FLAIR MR.
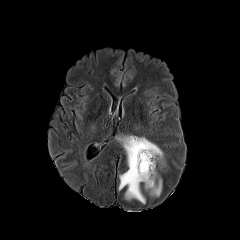
T1-weighted magnetic resonance.
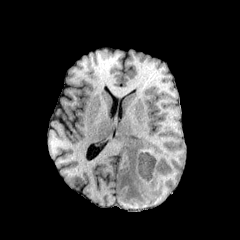
Post-contrast T1-weighted MRI.
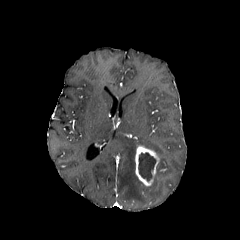
T2-weighted MRI.
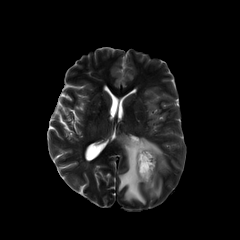
Axial slice.
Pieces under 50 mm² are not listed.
necrotic tumor core: bbox=[139, 153, 155, 180]
enhancing tumor: bbox=[134, 145, 159, 186]
peritumoral edema: bbox=[145, 178, 162, 196]; bbox=[117, 136, 162, 203]